Head. Image width 240 mm, 1.00 mm slice spacing.
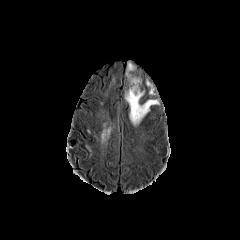
FLAIR magnetic resonance.
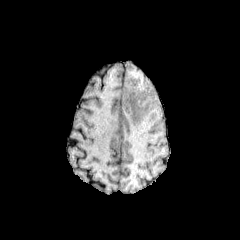
T1-weighted MR image of the same slice.
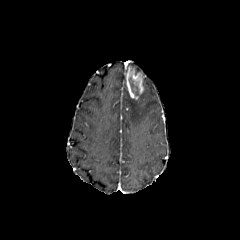
Post-contrast T1-weighted magnetic resonance.
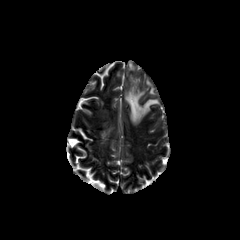
T2-weighted MR.
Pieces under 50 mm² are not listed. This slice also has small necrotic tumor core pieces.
Findings:
- enhancing tumor: [126,67,144,99]
- peritumoral edema: [146,80,155,95], [126,63,135,73], [124,87,159,126]